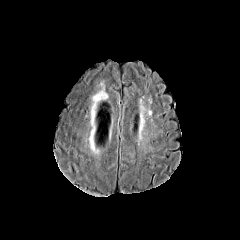
FLAIR magnetic resonance.
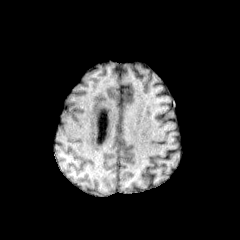
Same slice, T1-weighted magnetic resonance.
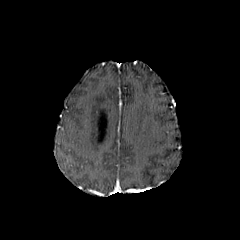
Post-contrast T1-weighted MR.
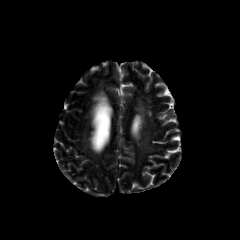
T2-weighted MR image of the same slice.
Head; Axial view
peritumoral edema — rect(92, 83, 107, 104)